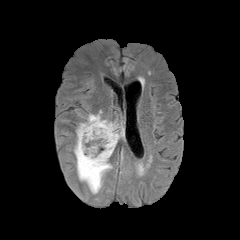
FLAIR MR image.
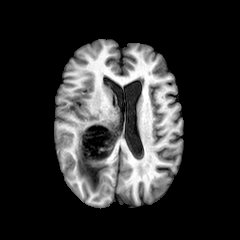
T1-weighted magnetic resonance.
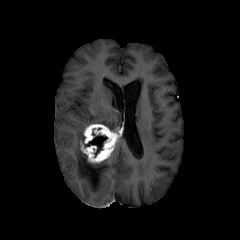
Post-contrast T1-weighted MR image of the same slice.
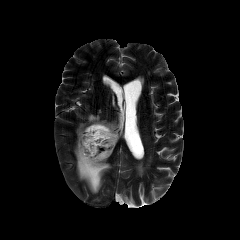
T2-weighted magnetic resonance.
Axial view
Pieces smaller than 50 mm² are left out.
Segmented structures:
* necrotic tumor core: {"x1": 84, "y1": 135, "x2": 107, "y2": 156}
* peritumoral edema: {"x1": 74, "y1": 110, "x2": 120, "y2": 193}
* enhancing tumor: {"x1": 80, "y1": 123, "x2": 120, "y2": 163}